Slice 56/155 | Axial plane
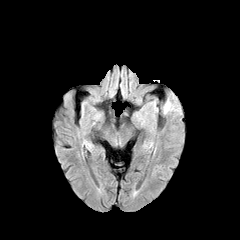
FLAIR magnetic resonance.
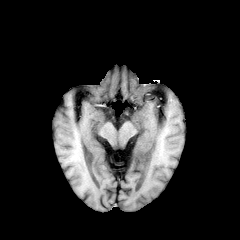
Same slice, T1-weighted MR.
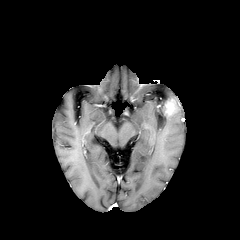
Post-contrast T1-weighted magnetic resonance.
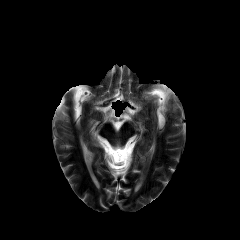
T2-weighted MRI of the same slice.
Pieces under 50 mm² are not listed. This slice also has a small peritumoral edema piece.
enhancing tumor — 164,101,176,113